Axial slice, Head
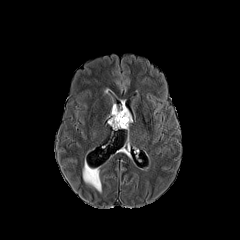
FLAIR MR.
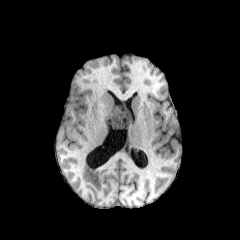
T1-weighted MRI.
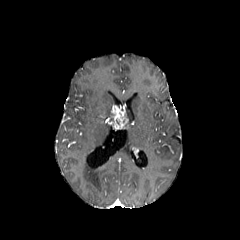
Post-contrast T1-weighted MR of the same slice.
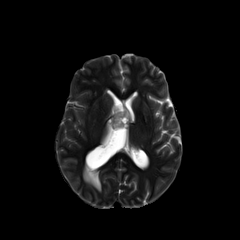
T2-weighted MR of the same slice.
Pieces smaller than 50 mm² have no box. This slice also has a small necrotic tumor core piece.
The largest peritumoral edema region lies within [126, 109, 131, 128]. The enhancing tumor is located at [108, 105, 128, 129].